Image width 240 mm, Head, Slice 92/155, Image size 240x240
FLAIR MRI.
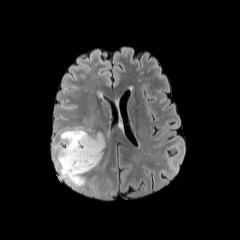
T1-weighted MR.
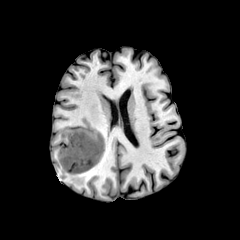
Post-contrast T1-weighted MR image.
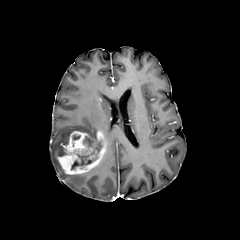
T2-weighted magnetic resonance.
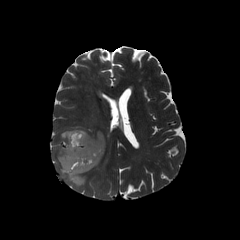
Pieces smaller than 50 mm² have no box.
necrotic tumor core: [71,154,97,169], [83,134,101,154] | enhancing tumor: [57,130,106,174] | peritumoral edema: [53,126,91,186]